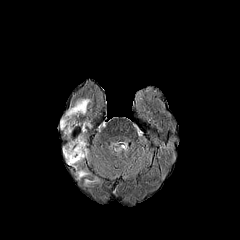
FLAIR MR image.
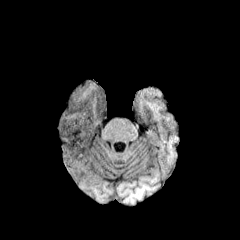
Same slice, T1-weighted MR.
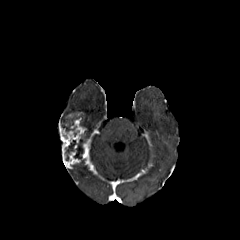
Same slice, post-contrast T1-weighted MR.
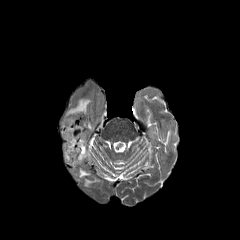
T2-weighted MR.
240x240 px; Axial plane; Head
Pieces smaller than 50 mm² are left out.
peritumoral edema: 78 170 88 177, 66 99 90 115 | enhancing tumor: 59 118 88 165, 65 112 83 118 | necrotic tumor core: 61 118 76 131, 65 139 83 159